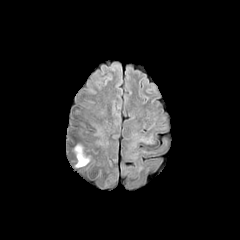
FLAIR MRI.
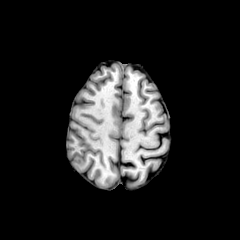
T1-weighted MR.
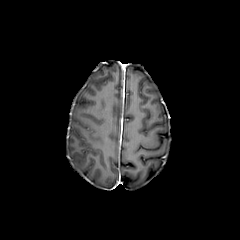
Post-contrast T1-weighted MRI of the same slice.
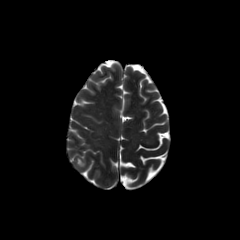
Same slice, T2-weighted MR image.
The peritumoral edema appears at bbox(75, 146, 88, 166).